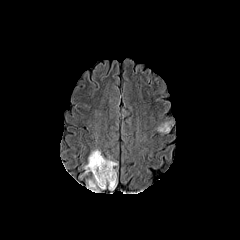
FLAIR MR image.
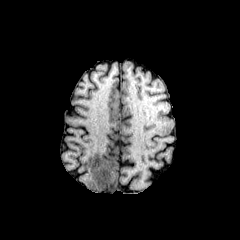
T1-weighted MR image.
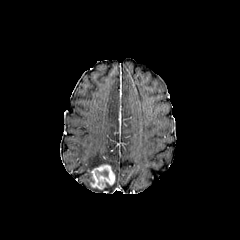
Same slice, post-contrast T1-weighted MR.
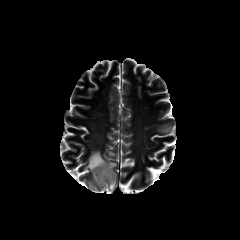
T2-weighted MR image.
Head; Axial slice; 240x240 px
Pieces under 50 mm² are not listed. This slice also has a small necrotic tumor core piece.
The 3 largest peritumoral edema regions are located at x1=156, y1=121, x2=172, y2=133; x1=84, y1=150, x2=117, y2=190; x1=87, y1=179, x2=99, y2=192. The enhancing tumor is located at x1=90, y1=164, x2=115, y2=189.